FLAIR magnetic resonance.
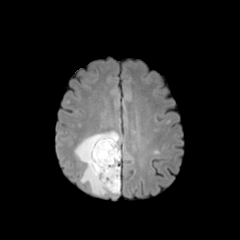
T1-weighted MR.
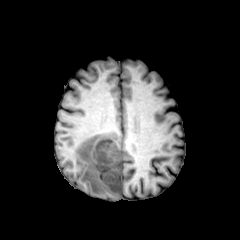
Post-contrast T1-weighted magnetic resonance.
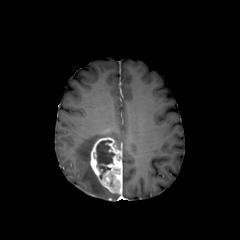
T2-weighted MRI.
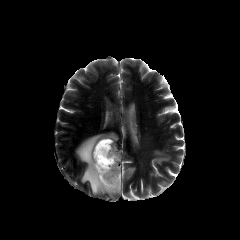
Axial view; Head
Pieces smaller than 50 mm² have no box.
The enhancing tumor is located at {"x1": 90, "y1": 137, "x2": 122, "y2": 193}. The peritumoral edema is located at {"x1": 75, "y1": 131, "x2": 119, "y2": 198}. The largest necrotic tumor core region is located at {"x1": 96, "y1": 140, "x2": 114, "y2": 173}.